Slice 71/155 | Head
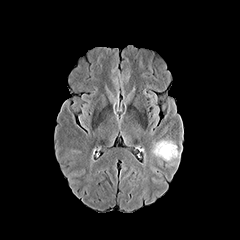
FLAIR MR image.
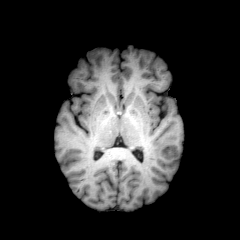
Same slice, T1-weighted MR.
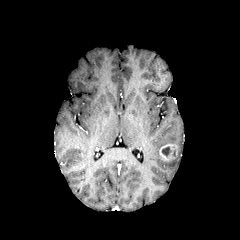
Post-contrast T1-weighted MR.
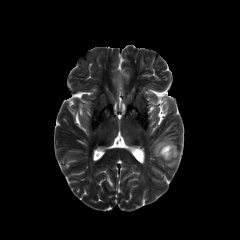
T2-weighted magnetic resonance.
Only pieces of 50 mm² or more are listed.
enhancing tumor — bbox=[159, 143, 177, 160]
peritumoral edema — bbox=[154, 141, 171, 157]
necrotic tumor core — bbox=[162, 147, 171, 156]